Axial view, Brain, Slice 44 of 155, Image size 240x240
FLAIR MR.
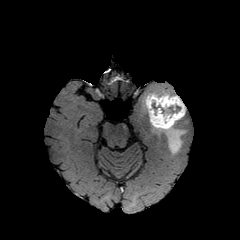
T1-weighted MRI.
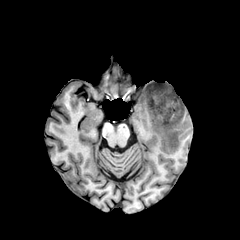
Post-contrast T1-weighted MR image.
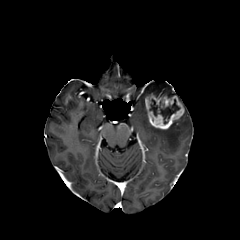
T2-weighted MR.
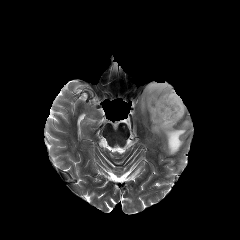
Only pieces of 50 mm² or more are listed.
<segmentation>
  <necrotic_tumor_core>x1=149 y1=99 x2=179 y2=123</necrotic_tumor_core>
  <enhancing_tumor>x1=145 y1=94 x2=184 y2=129</enhancing_tumor>
  <peritumoral_edema>x1=152 y1=121 x2=186 y2=154, x1=145 y1=84 x2=173 y2=97</peritumoral_edema>
</segmentation>